FLAIR MRI.
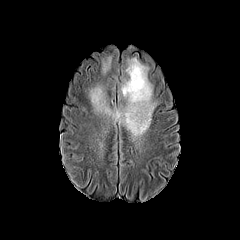
T1-weighted MR image.
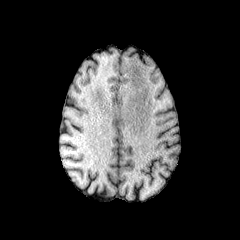
Post-contrast T1-weighted MR.
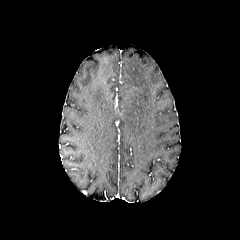
T2-weighted MR.
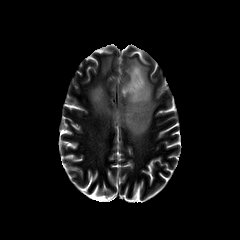
240x240 px | Head
3 peritumoral edema regions are bounded by x1=90, y1=87, x2=110, y2=114; x1=103, y1=59, x2=110, y2=72; x1=113, y1=58, x2=155, y2=137.